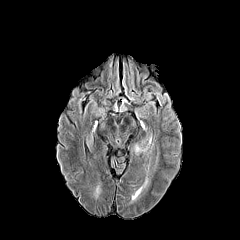
FLAIR MRI.
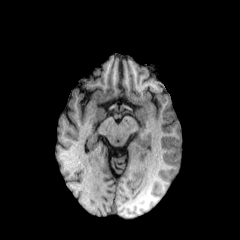
T1-weighted MR image of the same slice.
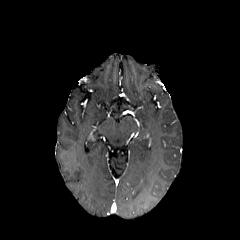
Post-contrast T1-weighted MRI.
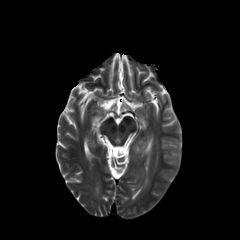
Same slice, T2-weighted MR.
Brain
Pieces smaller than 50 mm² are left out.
peritumoral edema — 132:177:148:200